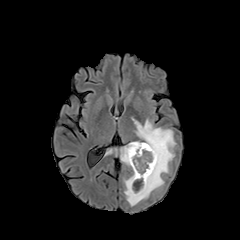
FLAIR MRI.
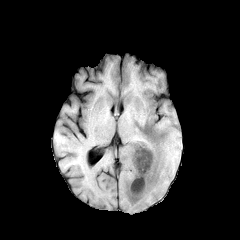
T1-weighted MR.
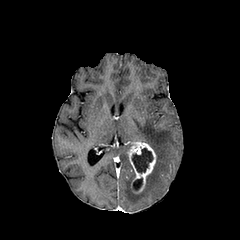
Same slice, post-contrast T1-weighted magnetic resonance.
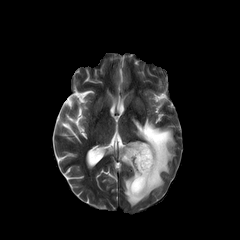
T2-weighted MR of the same slice.
Head.
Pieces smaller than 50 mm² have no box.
The enhancing tumor is located at (left=127, top=141, right=156, bottom=193). The 2 largest peritumoral edema regions are bounded by (left=124, top=119, right=175, bottom=206), (left=120, top=143, right=131, bottom=166). 2 necrotic tumor core regions are bounded by (left=132, top=178, right=142, bottom=190), (left=132, top=148, right=153, bottom=173).